FLAIR MR.
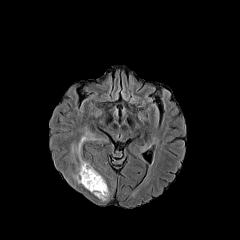
T1-weighted MRI.
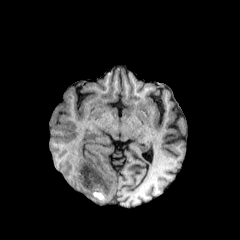
Post-contrast T1-weighted MR image.
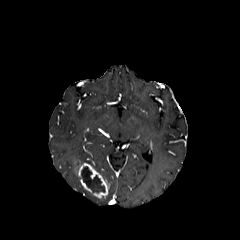
T2-weighted MR.
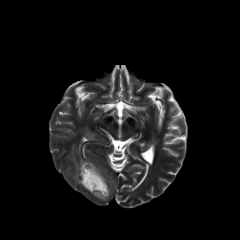
240x240 px.
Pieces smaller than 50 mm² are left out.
peritumoral edema at [70, 126, 107, 166]
enhancing tumor at [79, 163, 107, 198]
necrotic tumor core at [81, 166, 104, 192]